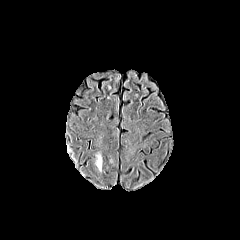
FLAIR MR.
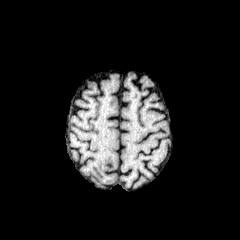
T1-weighted magnetic resonance.
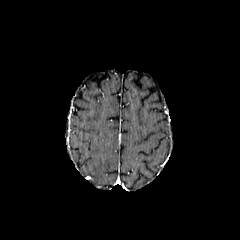
Post-contrast T1-weighted magnetic resonance of the same slice.
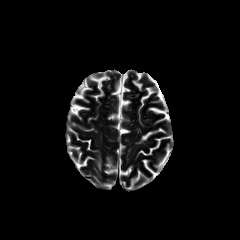
Same slice, T2-weighted MRI.
240x240 px
peritumoral edema: (x1=96, y1=154, x2=101, y2=171)